FLAIR MR image.
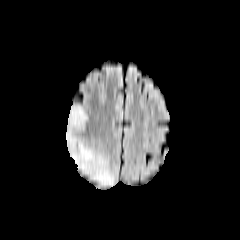
T1-weighted magnetic resonance.
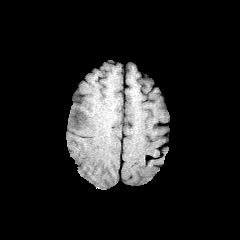
Post-contrast T1-weighted MR image.
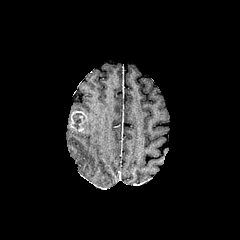
T2-weighted MR image.
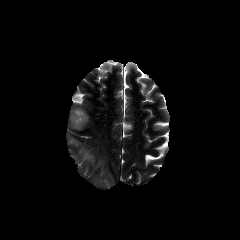
Head
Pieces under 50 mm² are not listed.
necrotic tumor core: <box>73,113,81,129</box> | enhancing tumor: <box>70,110,87,131</box> | peritumoral edema: <box>66,106,113,185</box>